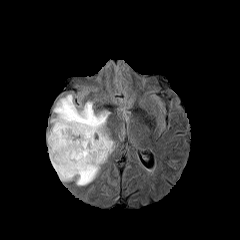
FLAIR MRI.
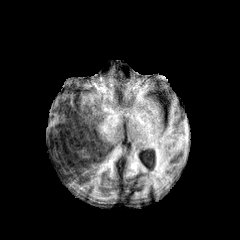
T1-weighted MRI.
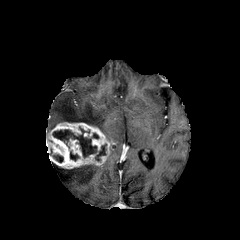
Post-contrast T1-weighted MR of the same slice.
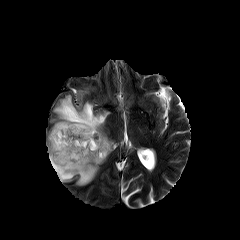
Same slice, T2-weighted MRI.
Head
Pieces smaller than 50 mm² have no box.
necrotic tumor core — 70,151,78,160; 53,155,63,162; 53,128,96,157; 95,144,106,160
enhancing tumor — 46,122,112,169
peritumoral edema — 50,94,114,148; 51,162,100,185